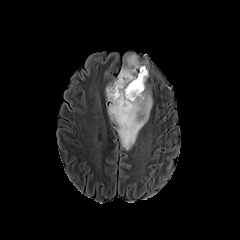
FLAIR magnetic resonance.
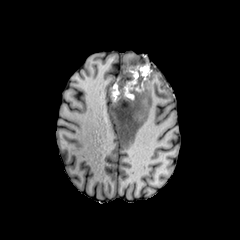
T1-weighted MRI.
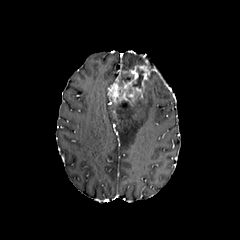
Same slice, post-contrast T1-weighted magnetic resonance.
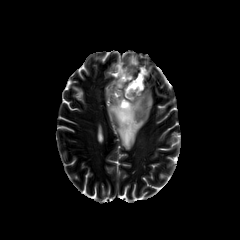
T2-weighted MR image of the same slice.
Brain.
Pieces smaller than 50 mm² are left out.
Segmented structures:
- enhancing tumor: [107,65,149,123]
- necrotic tumor core: [132,68,143,88], [116,100,135,121], [119,74,133,85]
- peritumoral edema: [107,79,153,150], [122,54,141,70]